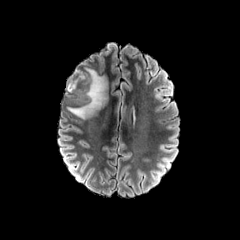
FLAIR magnetic resonance.
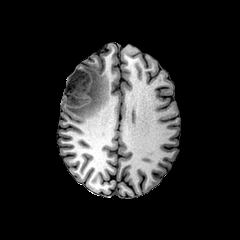
T1-weighted magnetic resonance of the same slice.
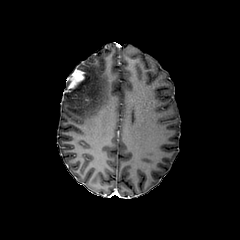
Post-contrast T1-weighted magnetic resonance of the same slice.
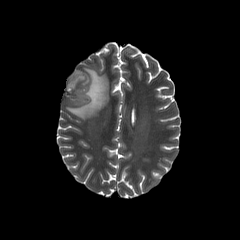
T2-weighted MR of the same slice.
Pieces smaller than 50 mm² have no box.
enhancing_tumor:
  - 66,69,85,91
peritumoral_edema:
  - 67,68,107,119